Head; Image width 240 mm, 1.00 mm slice spacing; Slice index 100; Axial slice; Image size 240x240
FLAIR magnetic resonance.
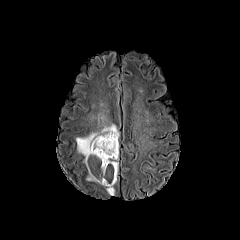
T1-weighted MR image.
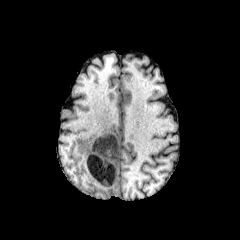
Post-contrast T1-weighted MR.
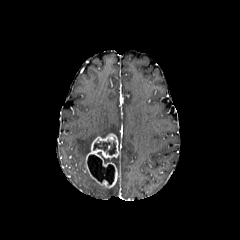
T2-weighted MR.
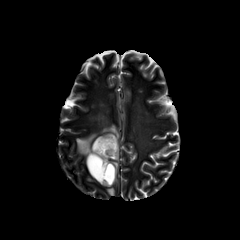
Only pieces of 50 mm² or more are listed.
Segmented structures:
* peritumoral edema: [x1=76, y1=124, x2=119, y2=158], [x1=106, y1=186, x2=114, y2=195]
* necrotic tumor core: [x1=106, y1=142, x2=116, y2=154], [x1=93, y1=142, x2=110, y2=150], [x1=87, y1=155, x2=114, y2=184]
* enhancing tumor: [x1=85, y1=133, x2=118, y2=188]